FLAIR magnetic resonance.
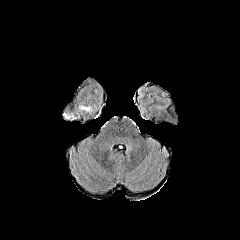
T1-weighted magnetic resonance.
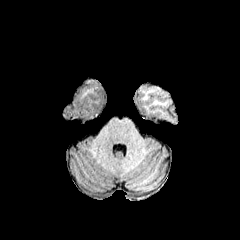
Post-contrast T1-weighted MR.
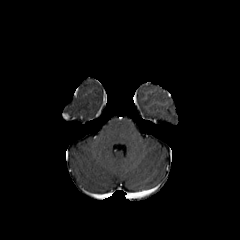
T2-weighted magnetic resonance.
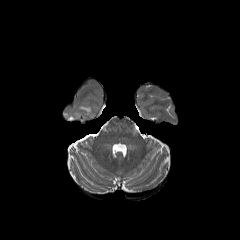
Head
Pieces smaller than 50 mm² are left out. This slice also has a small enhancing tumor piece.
peritumoral edema: bounding box <bbox>76, 104, 97, 114</bbox>